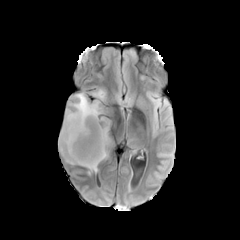
FLAIR MR image.
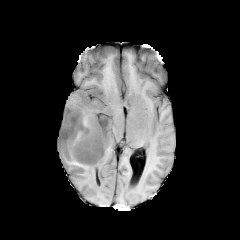
T1-weighted magnetic resonance.
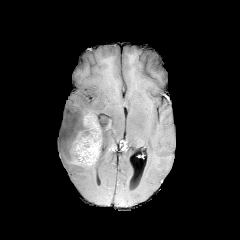
Post-contrast T1-weighted MR image.
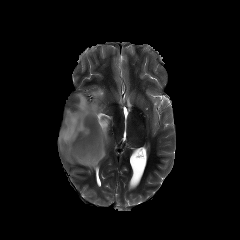
Same slice, T2-weighted MRI.
Axial slice | Image size 240x240
peritumoral edema = left=58, top=92, right=110, bottom=173; left=91, top=89, right=105, bottom=99
enhancing tumor = left=72, top=116, right=106, bottom=165